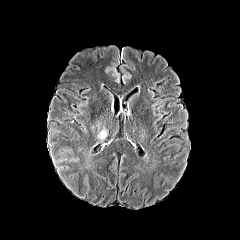
FLAIR MR.
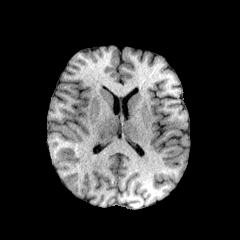
Same slice, T1-weighted MR.
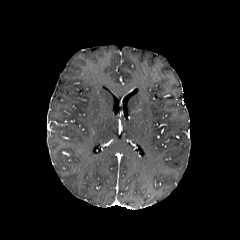
Post-contrast T1-weighted MR image.
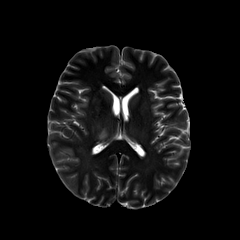
T2-weighted magnetic resonance.
Axial view, 240x240
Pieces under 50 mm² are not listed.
peritumoral edema: bounding box 97 129 107 140